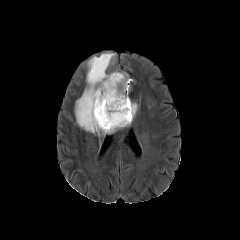
FLAIR magnetic resonance.
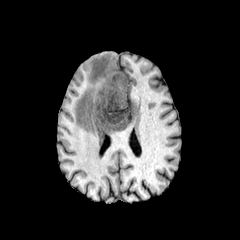
Same slice, T1-weighted MRI.
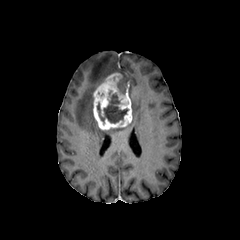
Post-contrast T1-weighted magnetic resonance of the same slice.
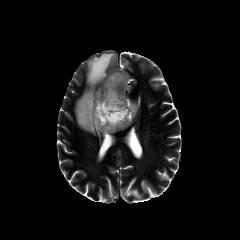
T2-weighted MR image of the same slice.
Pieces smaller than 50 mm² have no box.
peritumoral edema: bbox(131, 103, 137, 116); bbox(120, 73, 132, 82); bbox(75, 53, 115, 135)
necrotic tumor core: bbox(97, 93, 127, 123); bbox(117, 79, 126, 94)
enhancing tumor: bbox(93, 73, 132, 130)